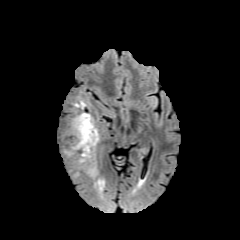
FLAIR magnetic resonance.
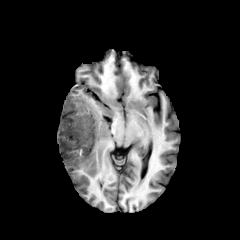
T1-weighted MR.
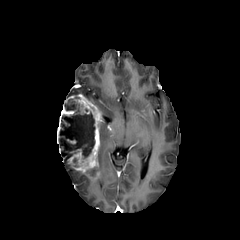
Post-contrast T1-weighted MR of the same slice.
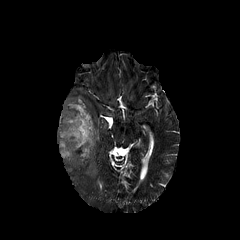
Same slice, T2-weighted MRI.
Axial view; Head; 240x240 px
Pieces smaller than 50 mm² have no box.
necrotic tumor core — l=59, t=99, r=94, b=158
enhancing tumor — l=57, t=94, r=101, b=179
peritumoral edema — l=94, t=178, r=104, b=190